FLAIR magnetic resonance.
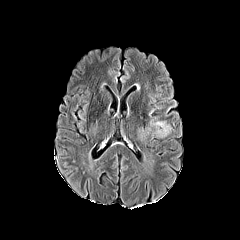
T1-weighted MR image.
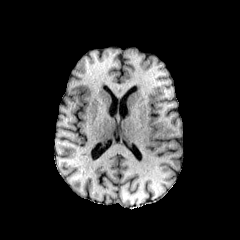
Post-contrast T1-weighted MR image.
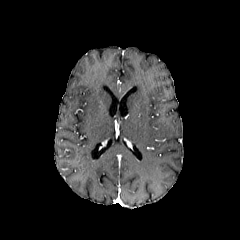
T2-weighted MR.
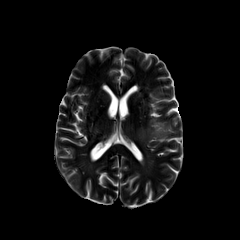
240x240 px.
Segmented structures:
• peritumoral edema: rect(155, 122, 170, 136)